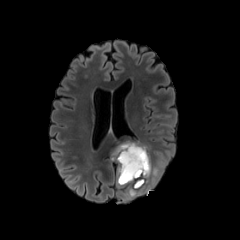
FLAIR MR image.
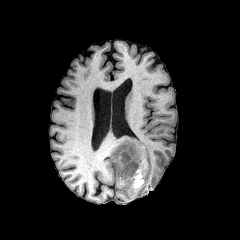
T1-weighted MR image of the same slice.
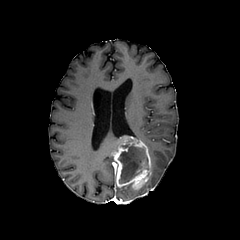
Same slice, post-contrast T1-weighted magnetic resonance.
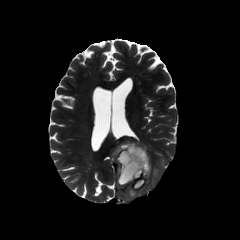
T2-weighted MR image.
Brain
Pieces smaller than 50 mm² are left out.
<segmentation>
  <peritumoral_edema>left=128, top=188, right=136, bottom=197; left=146, top=164, right=160, bottom=185</peritumoral_edema>
  <enhancing_tumor>left=111, top=137, right=151, bottom=189</enhancing_tumor>
  <necrotic_tumor_core>left=118, top=144, right=147, bottom=183</necrotic_tumor_core>
</segmentation>